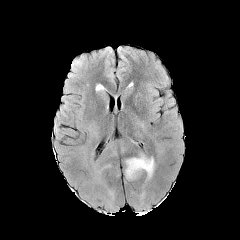
FLAIR MRI.
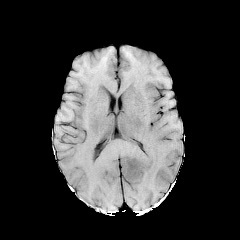
T1-weighted MRI of the same slice.
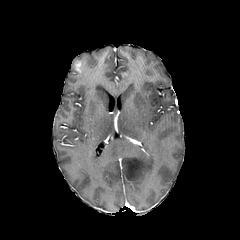
Post-contrast T1-weighted magnetic resonance.
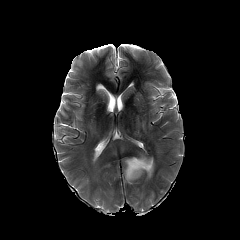
T2-weighted magnetic resonance.
240x240 px. Axial view. Head.
enhancing tumor = left=74, top=60, right=80, bottom=72
peritumoral edema = left=125, top=155, right=154, bottom=180